Head | 240x240
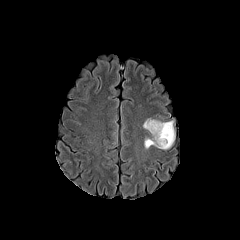
FLAIR MR image.
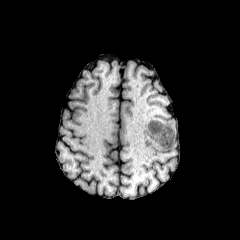
Same slice, T1-weighted MR image.
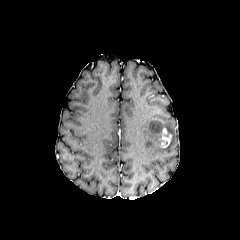
Post-contrast T1-weighted MR image.
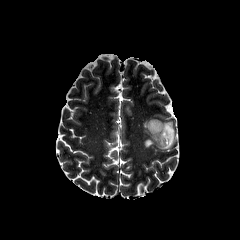
T2-weighted magnetic resonance.
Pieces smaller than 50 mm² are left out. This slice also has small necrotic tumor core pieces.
The peritumoral edema is at bbox(143, 119, 175, 149). The enhancing tumor is located at bbox(159, 128, 171, 147).